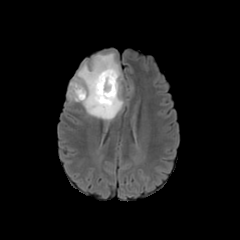
FLAIR MRI.
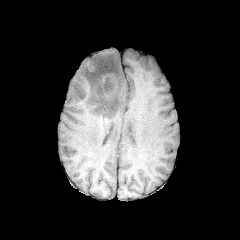
T1-weighted MR image.
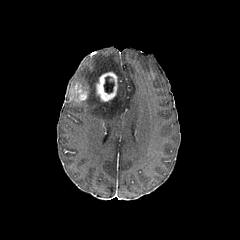
Post-contrast T1-weighted MR image.
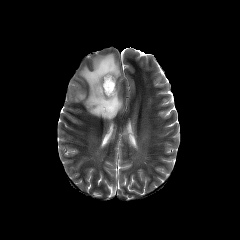
T2-weighted MR image of the same slice.
Brain
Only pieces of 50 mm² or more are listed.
The largest peritumoral edema region is bounded by rect(72, 53, 123, 120). 2 enhancing tumor regions appear at rect(69, 82, 87, 102); rect(96, 72, 117, 101). The necrotic tumor core appears at rect(104, 76, 114, 93).